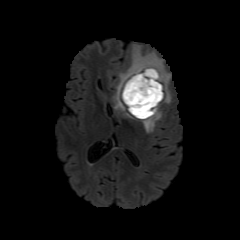
FLAIR MR image.
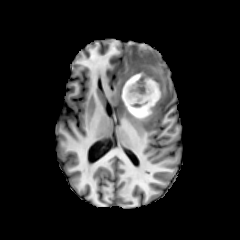
T1-weighted MR image.
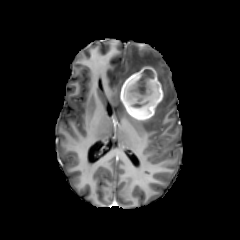
Post-contrast T1-weighted magnetic resonance.
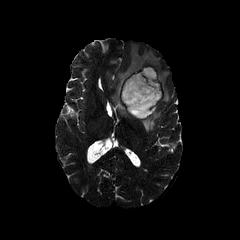
T2-weighted magnetic resonance.
Brain
enhancing tumor: <bbox>120, 66, 163, 119</bbox>
peritumoral edema: <bbox>112, 45, 171, 117</bbox>, <bbox>140, 103, 161, 132</bbox>
necrotic tumor core: <bbox>122, 69, 158, 116</bbox>